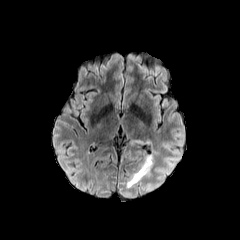
FLAIR magnetic resonance.
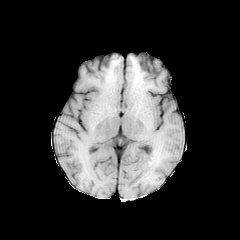
Same slice, T1-weighted magnetic resonance.
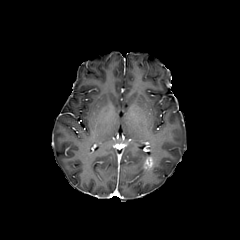
Post-contrast T1-weighted MR image of the same slice.
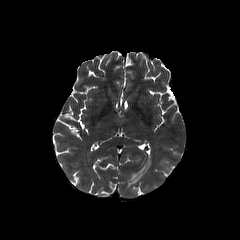
T2-weighted magnetic resonance of the same slice.
Image size 240x240. Brain.
* peritumoral edema: x1=127, y1=154, x2=153, y2=187
* enhancing tumor: x1=143, y1=156, x2=153, y2=170